FLAIR magnetic resonance.
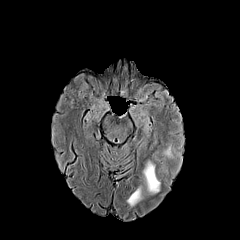
T1-weighted MR.
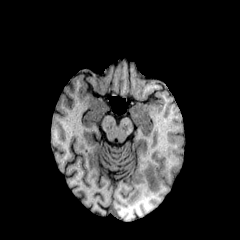
Post-contrast T1-weighted MRI.
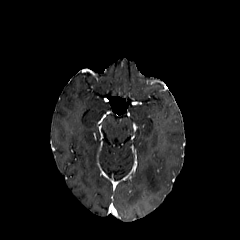
T2-weighted MRI.
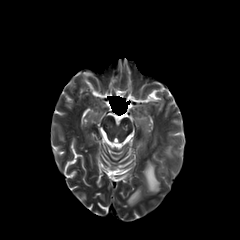
Brain | 240x240 px
Segmented structures:
* peritumoral edema: [127, 187, 141, 206], [164, 145, 172, 156], [143, 161, 160, 193]